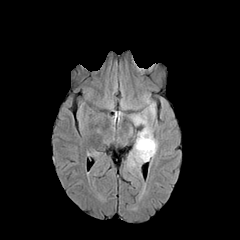
FLAIR MRI.
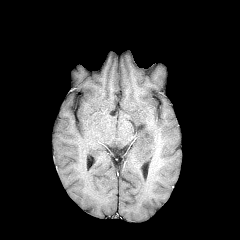
Same slice, T1-weighted MRI.
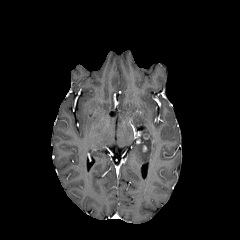
Post-contrast T1-weighted MR image of the same slice.
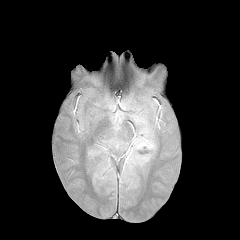
T2-weighted MRI.
Head. 240x240 px.
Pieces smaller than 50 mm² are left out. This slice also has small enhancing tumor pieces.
{
  "peritumoral_edema": [
    "left=129, top=103, right=157, bottom=166"
  ]
}